Brain, Image width 240 mm, Axial plane
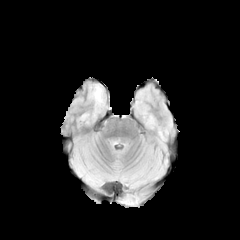
FLAIR MR image.
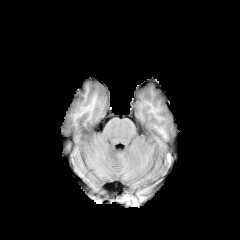
T1-weighted magnetic resonance.
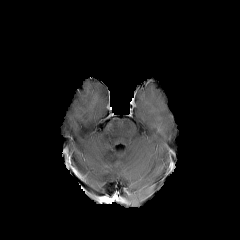
Post-contrast T1-weighted MR.
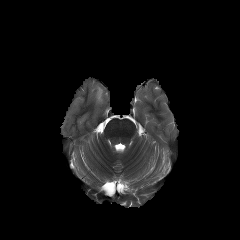
Same slice, T2-weighted MR.
peritumoral_edema:
  - 91 86 103 105